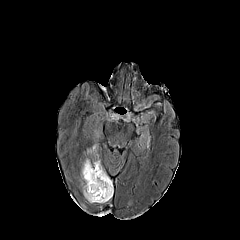
FLAIR magnetic resonance.
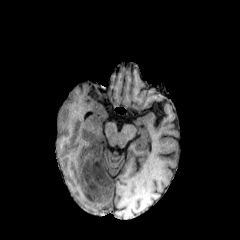
T1-weighted magnetic resonance of the same slice.
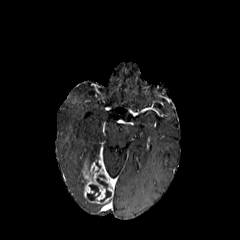
Post-contrast T1-weighted MRI of the same slice.
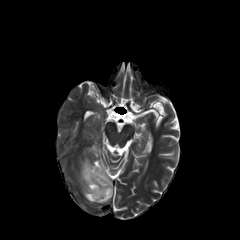
T2-weighted MR.
Axial slice | Brain
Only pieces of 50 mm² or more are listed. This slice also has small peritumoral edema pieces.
necrotic tumor core: left=96, top=178, right=111, bottom=201; left=87, top=184, right=100, bottom=200
enhancing tumor: left=82, top=159, right=113, bottom=203